Slice index 73, Image width 240 mm
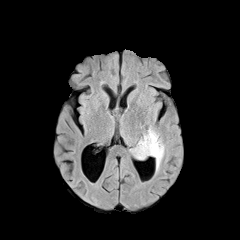
FLAIR MRI.
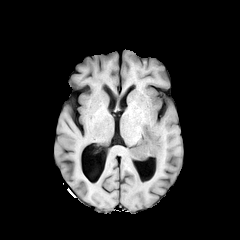
T1-weighted MR image of the same slice.
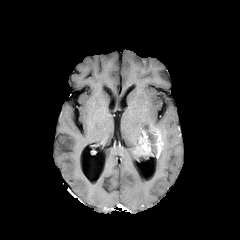
Post-contrast T1-weighted MRI of the same slice.
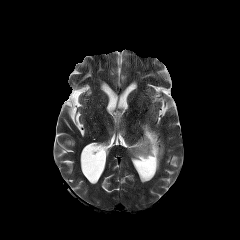
T2-weighted magnetic resonance.
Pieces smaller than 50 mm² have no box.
necrotic tumor core: bbox=[146, 130, 156, 156]
enhancing tumor: bbox=[152, 129, 163, 158]; bbox=[133, 131, 153, 155]
peritumoral edema: bbox=[156, 144, 164, 171]